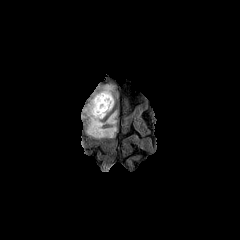
FLAIR MR.
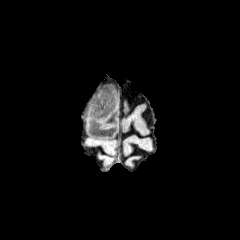
Same slice, T1-weighted MR.
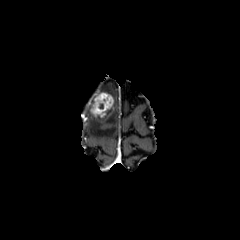
Post-contrast T1-weighted MR.
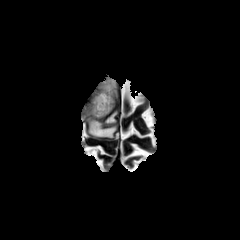
T2-weighted MRI.
240x240
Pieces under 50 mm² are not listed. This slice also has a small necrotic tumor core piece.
Annotated regions:
- enhancing tumor: [89,92,113,117]
- peritumoral edema: [86,98,117,138], [101,85,114,97]